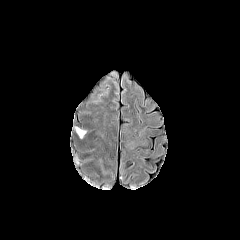
FLAIR MRI.
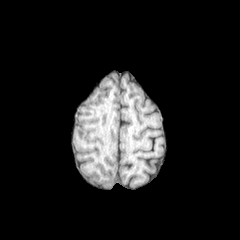
T1-weighted MR.
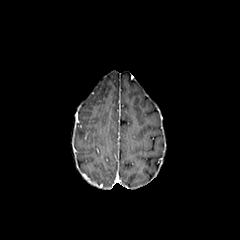
Post-contrast T1-weighted MRI of the same slice.
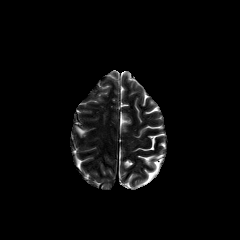
Same slice, T2-weighted MR.
Axial slice
peritumoral_edema:
  - bbox=[76, 127, 86, 137]